Image width 240 mm; Head
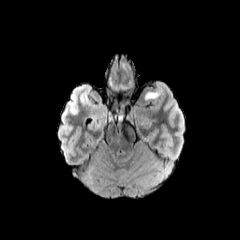
FLAIR magnetic resonance.
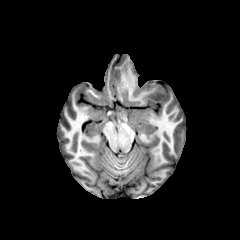
T1-weighted magnetic resonance.
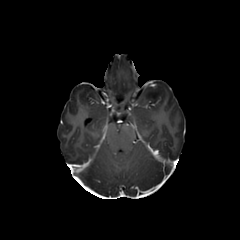
Same slice, post-contrast T1-weighted MR image.
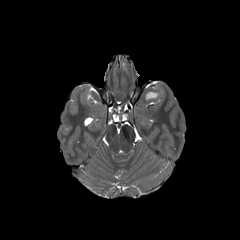
Same slice, T2-weighted MR image.
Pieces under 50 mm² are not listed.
The largest peritumoral edema region appears at region(145, 91, 161, 99).